Axial view; Image size 240x240
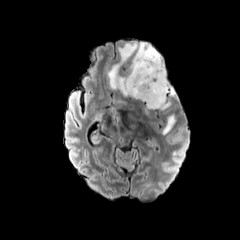
FLAIR magnetic resonance.
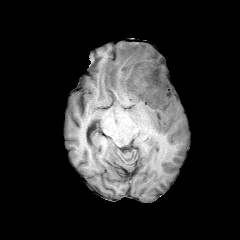
Same slice, T1-weighted MR image.
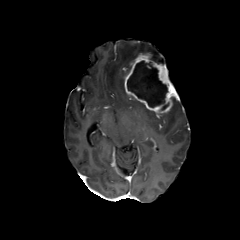
Same slice, post-contrast T1-weighted magnetic resonance.
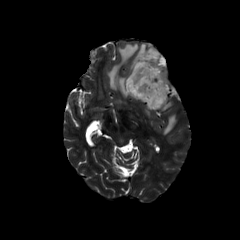
T2-weighted magnetic resonance.
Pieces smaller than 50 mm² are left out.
{"enhancing_tumor": [{"x1": 124, "y1": 52, "x2": 179, "y2": 115}], "necrotic_tumor_core": [{"x1": 127, "y1": 61, "x2": 167, "y2": 107}], "peritumoral_edema": [{"x1": 107, "y1": 42, "x2": 164, "y2": 96}, {"x1": 162, "y1": 101, "x2": 177, "y2": 134}]}